240x240. Head. Image width 240 mm, 1.00 mm slice spacing.
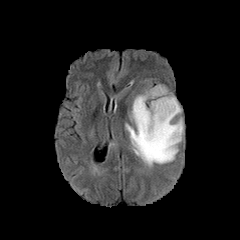
FLAIR MR.
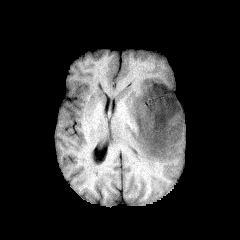
Same slice, T1-weighted MR.
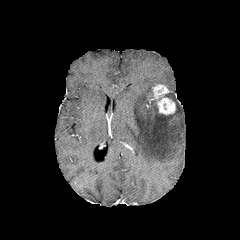
Same slice, post-contrast T1-weighted magnetic resonance.
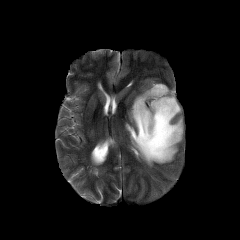
T2-weighted MR image.
The peritumoral edema is bounded by x1=125 y1=88 x2=183 y2=166. The enhancing tumor is bounded by x1=149 y1=84 x2=176 y2=115.